Axial view. Image covers 240 mm x 240 mm. Head. Slice index 82. Image size 240x240.
FLAIR MR image.
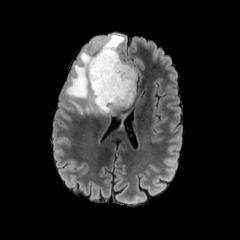
T1-weighted MR.
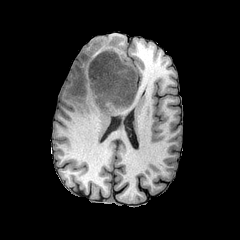
Post-contrast T1-weighted MR.
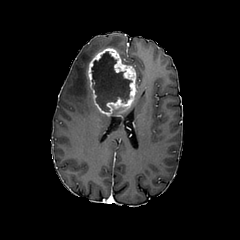
T2-weighted MR image.
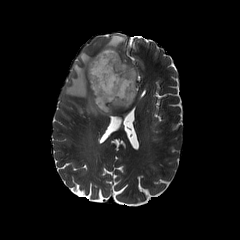
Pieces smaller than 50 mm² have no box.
Segmented structures:
• enhancing tumor: <bbox>87, 48, 136, 115</bbox>
• peritumoral edema: <bbox>65, 51, 105, 115</bbox>, <bbox>97, 34, 124, 52</bbox>, <bbox>119, 112, 127, 127</bbox>
• necrotic tumor core: <bbox>91, 51, 132, 111</bbox>